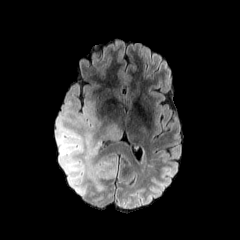
FLAIR MR.
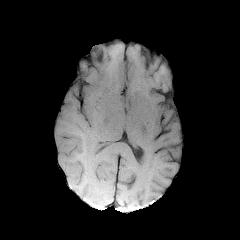
T1-weighted MR image of the same slice.
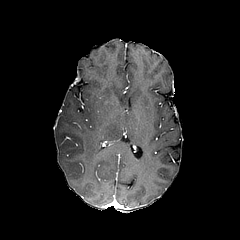
Post-contrast T1-weighted magnetic resonance.
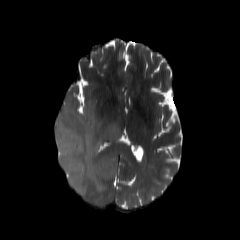
T2-weighted magnetic resonance.
240x240 px; Head
peritumoral edema: bbox=[54, 91, 122, 195]